FLAIR MRI.
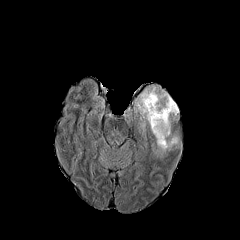
T1-weighted MRI.
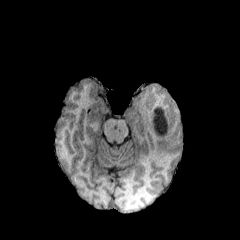
Post-contrast T1-weighted MRI.
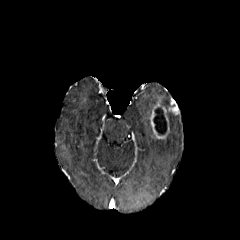
T2-weighted MRI.
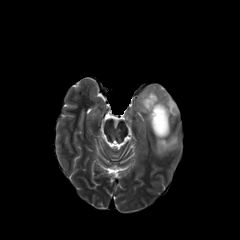
240x240 px | Head | Axial view
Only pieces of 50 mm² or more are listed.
The necrotic tumor core lies within 153,108,167,134. The enhancing tumor is located at 149,99,179,139. The 3 largest peritumoral edema regions appear at 155,136,178,155; 136,86,171,124; 167,113,176,137.